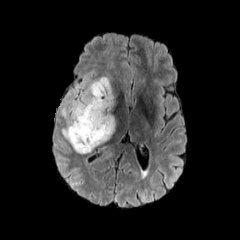
FLAIR MR image.
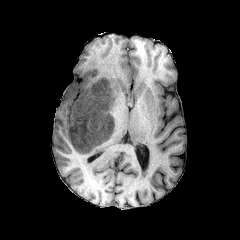
Same slice, T1-weighted MRI.
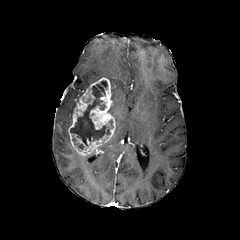
Post-contrast T1-weighted MRI of the same slice.
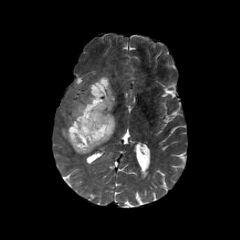
T2-weighted magnetic resonance.
Head, Axial plane
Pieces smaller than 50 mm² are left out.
Annotated regions:
• enhancing tumor: [x1=68, y1=77, x2=115, y2=155]
• peritumoral edema: [x1=58, y1=74, x2=111, y2=142]
• necrotic tumor core: [x1=70, y1=79, x2=110, y2=145]